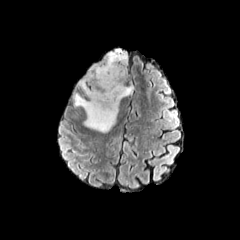
FLAIR magnetic resonance.
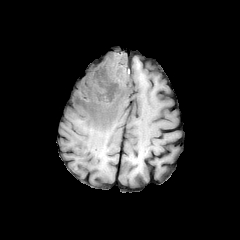
T1-weighted MRI.
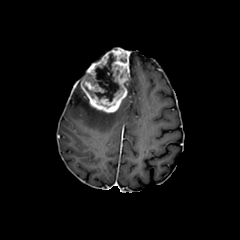
Post-contrast T1-weighted MR.
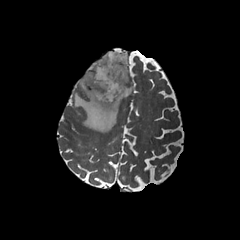
Same slice, T2-weighted magnetic resonance.
Brain
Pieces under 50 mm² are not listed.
The largest necrotic tumor core region lies within bbox(85, 53, 120, 101). 2 peritumoral edema regions are located at bbox(73, 80, 119, 132); bbox(127, 83, 133, 96). The enhancing tumor lies within bbox(80, 48, 129, 113).